Axial plane
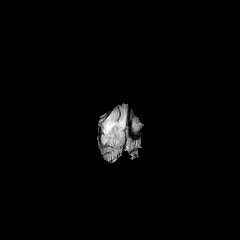
FLAIR MRI.
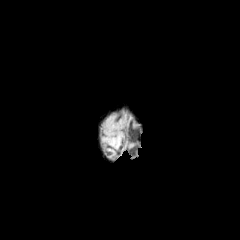
T1-weighted MRI.
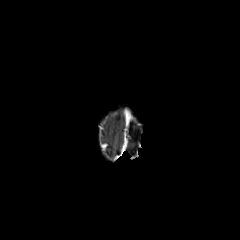
Post-contrast T1-weighted MRI.
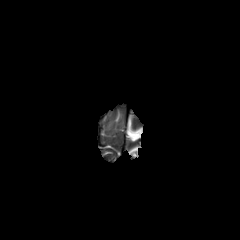
T2-weighted MR.
Segmented structures:
- peritumoral edema: 105 120 123 133